Image width 240 mm, 1.00 mm slice spacing. Head.
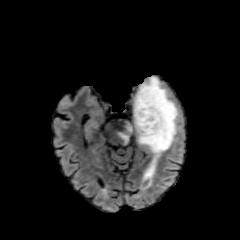
FLAIR MRI.
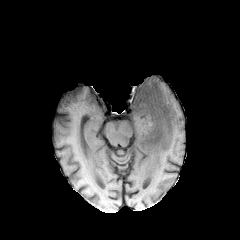
T1-weighted magnetic resonance.
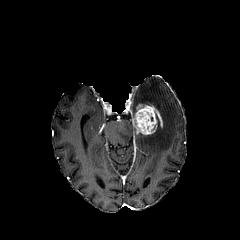
Post-contrast T1-weighted MR of the same slice.
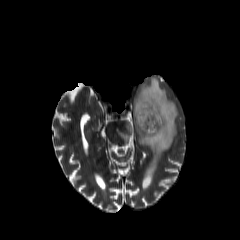
Same slice, T2-weighted MRI.
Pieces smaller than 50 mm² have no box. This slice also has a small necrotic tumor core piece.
peritumoral edema at x1=116, y1=76, x2=178, y2=189
enhancing tumor at x1=132, y1=102, x2=162, y2=135